Image size 240x240
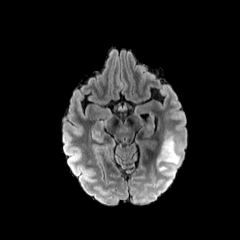
FLAIR MR image.
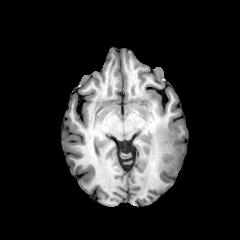
Same slice, T1-weighted MR.
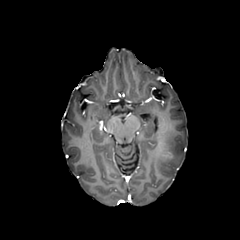
Post-contrast T1-weighted MRI.
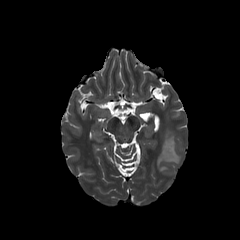
T2-weighted MRI.
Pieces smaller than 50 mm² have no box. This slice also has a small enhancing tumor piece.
The peritumoral edema is at 157,133,180,175.